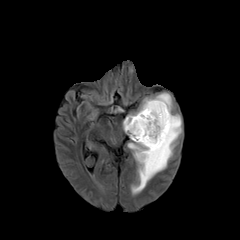
FLAIR magnetic resonance.
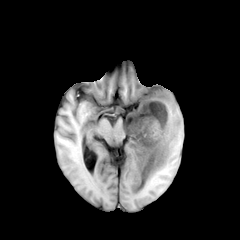
Same slice, T1-weighted MR.
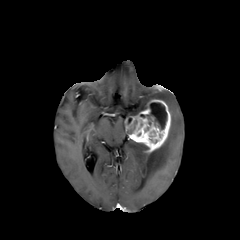
Post-contrast T1-weighted MRI.
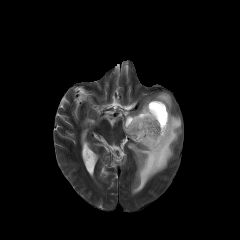
T2-weighted MRI.
Axial view. Image size 240x240.
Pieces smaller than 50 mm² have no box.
The enhancing tumor lies within (124, 99, 171, 153). The largest peritumoral edema region lies within (127, 92, 181, 193). The largest necrotic tumor core region appears at (147, 102, 167, 129).